Axial view
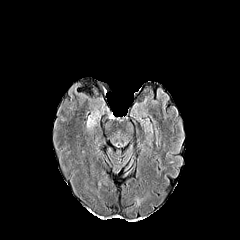
FLAIR MRI.
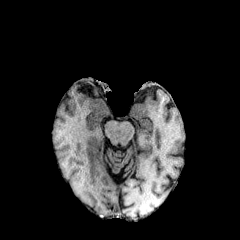
Same slice, T1-weighted MR image.
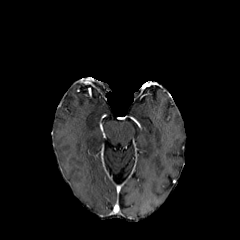
Post-contrast T1-weighted MRI.
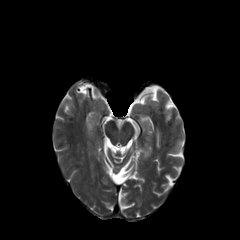
Same slice, T2-weighted MRI.
peritumoral edema = rect(87, 111, 98, 130)